Slice 64/155.
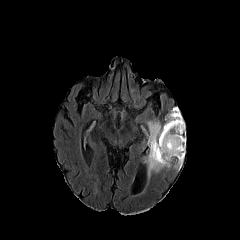
FLAIR magnetic resonance.
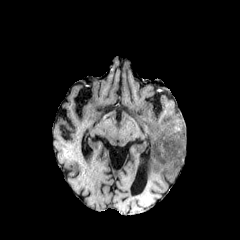
T1-weighted magnetic resonance.
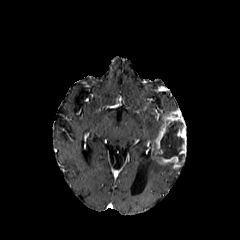
Post-contrast T1-weighted MR.
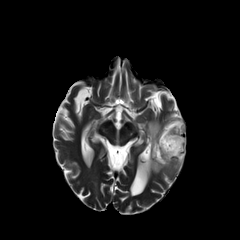
T2-weighted MR image.
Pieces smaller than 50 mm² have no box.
Annotated regions:
* enhancing tumor: x1=152 y1=108 x2=186 y2=168
* peritumoral edema: x1=146 y1=119 x2=173 y2=178
* necrotic tumor core: x1=156 y1=121 x2=183 y2=161